FLAIR magnetic resonance.
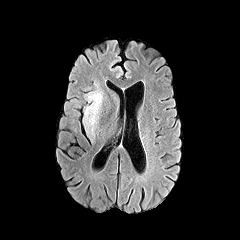
T1-weighted MRI.
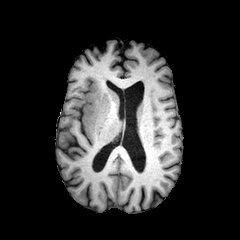
Post-contrast T1-weighted MR image.
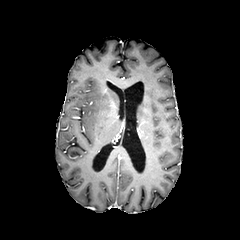
T2-weighted MRI.
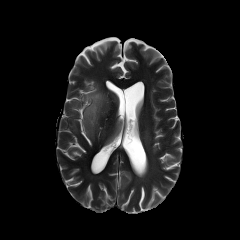
Head.
{
  "peritumoral_edema": [
    "left=84, top=90, right=103, bottom=132"
  ]
}